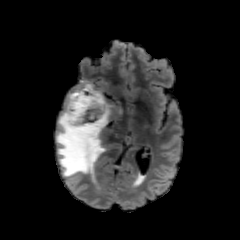
FLAIR magnetic resonance.
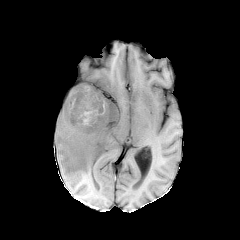
T1-weighted MR image of the same slice.
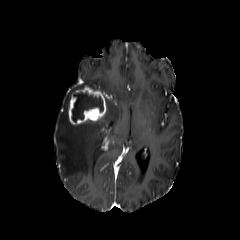
Post-contrast T1-weighted magnetic resonance.
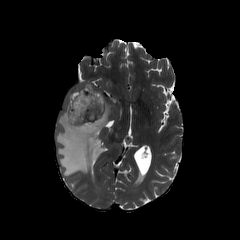
Same slice, T2-weighted magnetic resonance.
240x240 px; Head; Axial slice
necrotic_tumor_core:
  - x1=72 y1=92 x2=103 y2=121
enhancing_tumor:
  - x1=68 y1=86 x2=106 y2=125
peritumoral_edema:
  - x1=56 y1=83 x2=122 y2=176